Brain.
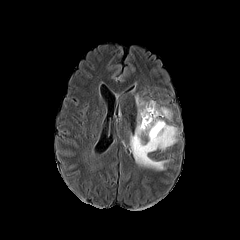
FLAIR magnetic resonance.
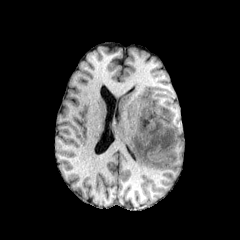
T1-weighted MR.
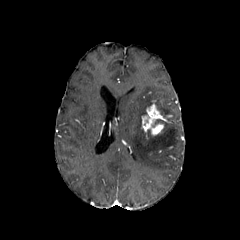
Same slice, post-contrast T1-weighted MR image.
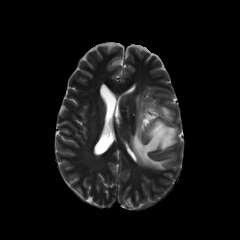
T2-weighted MRI.
peritumoral edema — bbox=[156, 104, 172, 120]; bbox=[130, 95, 178, 170]
enhancing tumor — bbox=[141, 102, 165, 136]